Slice 94 of 155. Axial plane. 240x240. Head. Image width 240 mm, 1.00 mm slice spacing.
FLAIR magnetic resonance.
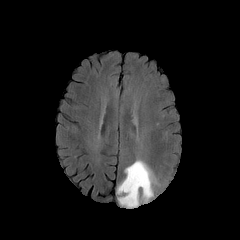
T1-weighted magnetic resonance.
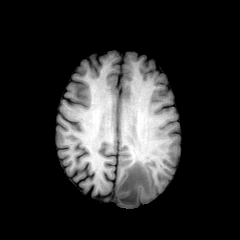
Post-contrast T1-weighted MRI.
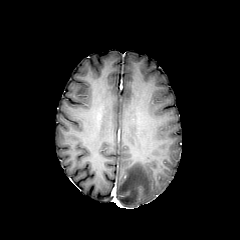
T2-weighted MR.
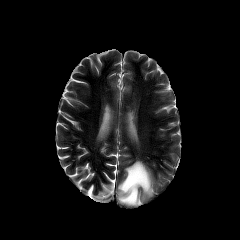
{"peritumoral_edema": ["117, 160, 156, 207"]}